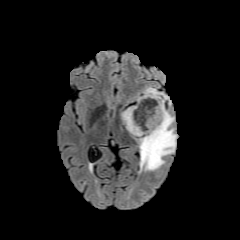
FLAIR magnetic resonance.
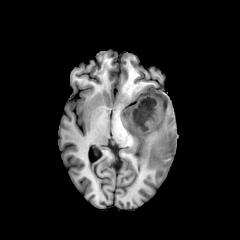
T1-weighted MRI of the same slice.
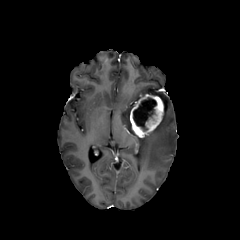
Same slice, post-contrast T1-weighted MR.
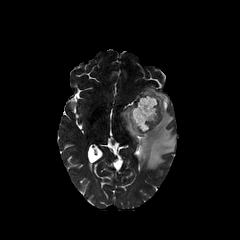
T2-weighted MR.
Head
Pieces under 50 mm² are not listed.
enhancing tumor: 130, 94, 163, 137
necrotic tumor core: 133, 98, 156, 130
peritumoral edema: 121, 87, 176, 170